FLAIR MR.
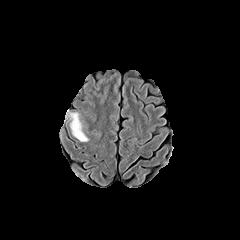
T1-weighted MR image.
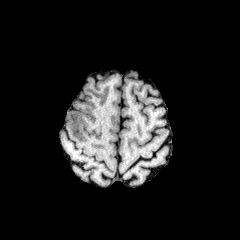
Post-contrast T1-weighted MRI.
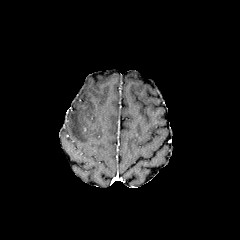
T2-weighted magnetic resonance.
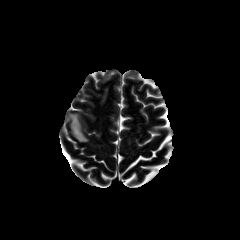
Brain; Axial view
peritumoral edema: left=68, top=113, right=88, bottom=141